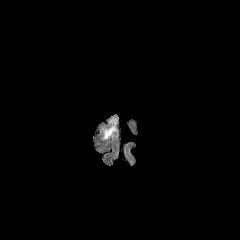
FLAIR magnetic resonance.
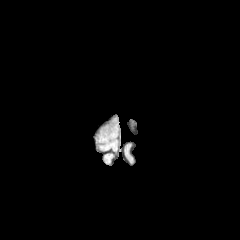
T1-weighted MRI of the same slice.
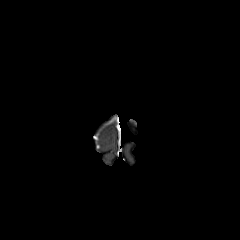
Post-contrast T1-weighted MR image of the same slice.
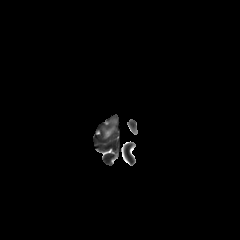
Same slice, T2-weighted MR.
Axial view; Brain
peritumoral edema: [x1=103, y1=125, x2=116, y2=139]